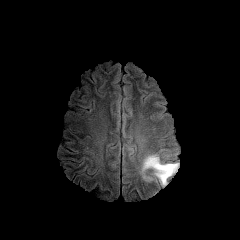
FLAIR MR image.
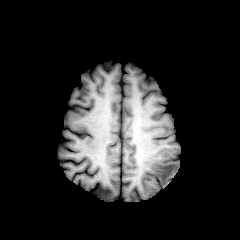
T1-weighted MR of the same slice.
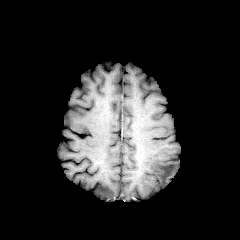
Post-contrast T1-weighted MRI of the same slice.
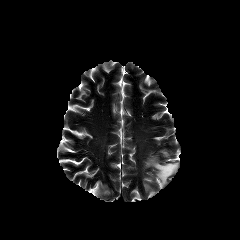
T2-weighted MRI.
Brain
Annotated regions:
- peritumoral edema: l=144, t=155, r=178, b=185